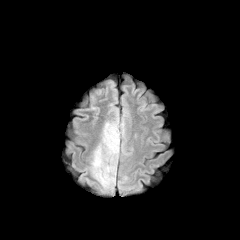
FLAIR MR.
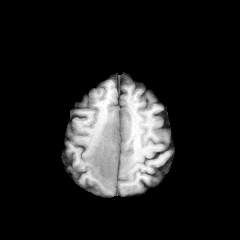
T1-weighted MRI.
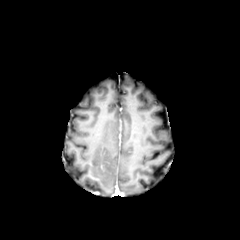
Post-contrast T1-weighted MR.
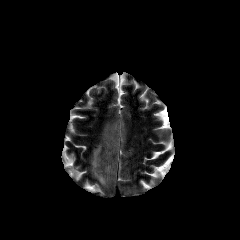
T2-weighted magnetic resonance of the same slice.
240x240
Segmented structures:
• peritumoral edema: box=[91, 119, 124, 188]